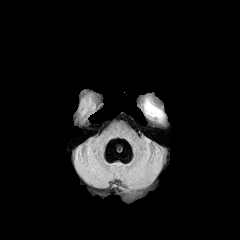
FLAIR MRI.
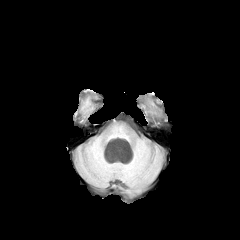
T1-weighted MR.
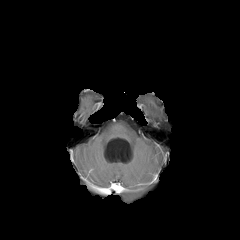
Post-contrast T1-weighted MR.
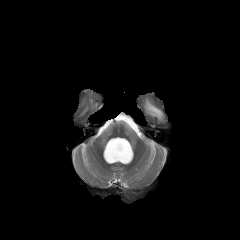
T2-weighted MR image of the same slice.
Axial view, Brain
peritumoral edema: bounding box [144, 99, 163, 120]